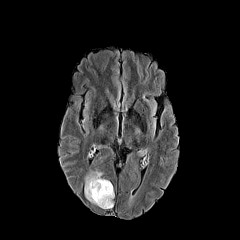
FLAIR magnetic resonance.
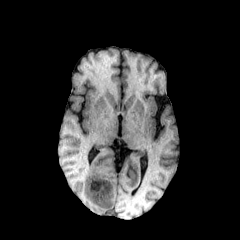
T1-weighted MR.
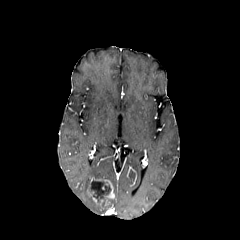
Post-contrast T1-weighted MRI.
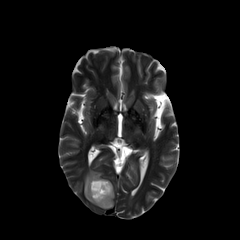
T2-weighted MRI.
240x240; Axial plane
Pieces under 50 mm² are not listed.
The largest enhancing tumor region is located at [87, 177, 114, 207]. The largest necrotic tumor core region lies within [90, 180, 110, 202]. The largest peritumoral edema region is bounded by [84, 171, 102, 204].